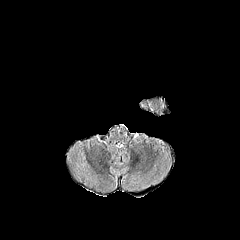
FLAIR MR image.
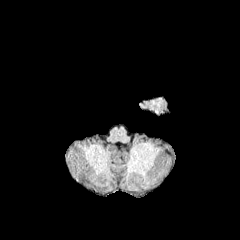
T1-weighted MR.
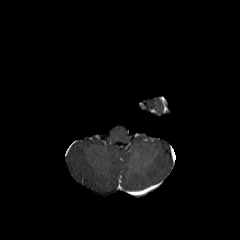
Post-contrast T1-weighted MR image.
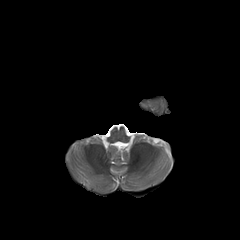
Same slice, T2-weighted MRI.
Brain.
{"peritumoral_edema": ["box(146, 98, 165, 111)"]}